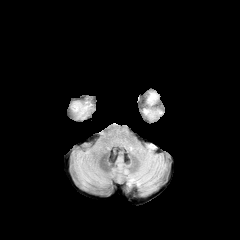
FLAIR MRI.
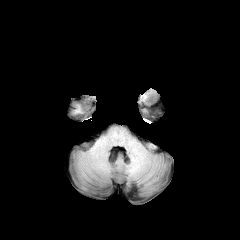
T1-weighted MRI of the same slice.
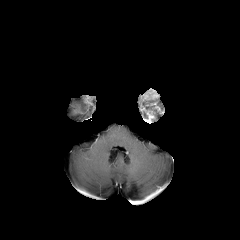
Post-contrast T1-weighted MR image.
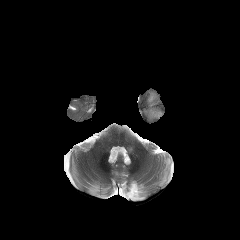
T2-weighted MR.
240x240 px | Head
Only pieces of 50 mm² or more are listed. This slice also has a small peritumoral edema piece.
enhancing_tumor:
  - l=143, t=91, r=164, b=123